FLAIR MRI.
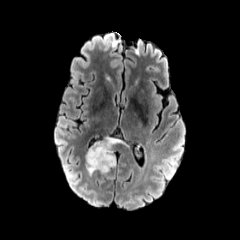
T1-weighted magnetic resonance.
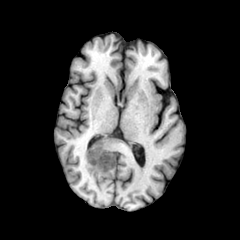
Post-contrast T1-weighted MR.
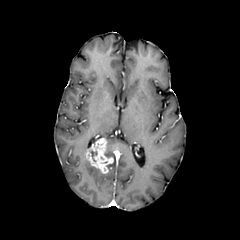
T2-weighted MRI.
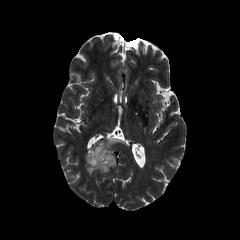
Axial view. Brain.
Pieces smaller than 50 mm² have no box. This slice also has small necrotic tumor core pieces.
The 2 largest peritumoral edema regions appear at {"x1": 86, "y1": 159, "x2": 98, "y2": 174}, {"x1": 106, "y1": 137, "x2": 119, "y2": 150}. The enhancing tumor is at {"x1": 86, "y1": 138, "x2": 114, "y2": 173}.